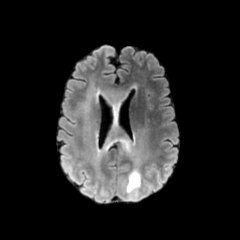
FLAIR magnetic resonance.
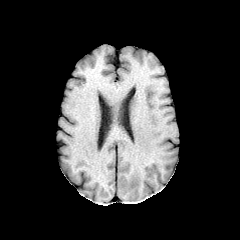
T1-weighted MRI of the same slice.
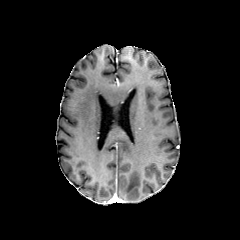
Post-contrast T1-weighted MR image.
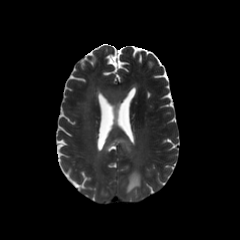
Same slice, T2-weighted MR.
Head.
peritumoral edema = <box>126,170,140,192</box>, <box>105,90,148,169</box>